Brain, Axial view, Image width 240 mm, 1.00 mm slice spacing
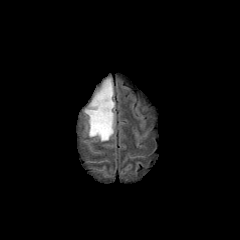
FLAIR MR image.
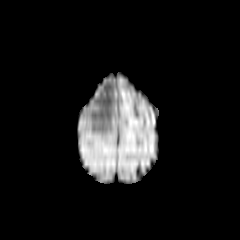
T1-weighted MR.
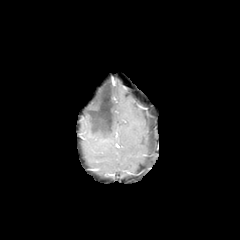
Post-contrast T1-weighted MRI.
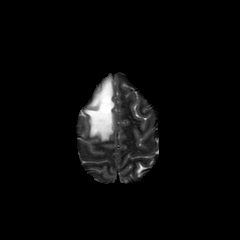
Same slice, T2-weighted magnetic resonance.
peritumoral edema: (84, 78, 115, 141)